FLAIR MR.
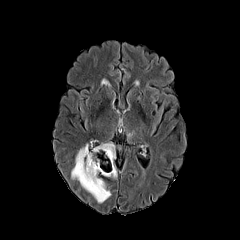
T1-weighted MR image.
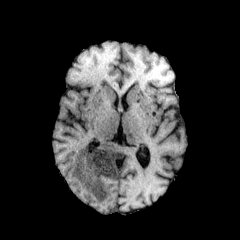
Post-contrast T1-weighted magnetic resonance.
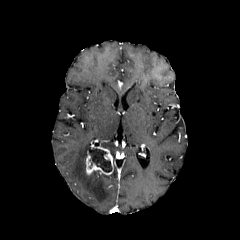
T2-weighted magnetic resonance.
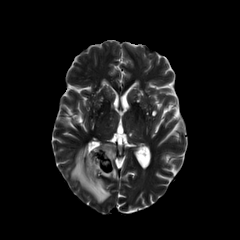
Axial slice
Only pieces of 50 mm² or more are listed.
Segmented structures:
• enhancing tumor: left=86, top=146, right=113, bottom=175
• peritumoral edema: left=102, top=161, right=117, bottom=179; left=71, top=143, right=111, bottom=203; left=100, top=141, right=116, bottom=159
• necrotic tumor core: left=89, top=149, right=111, bottom=172